FLAIR MR.
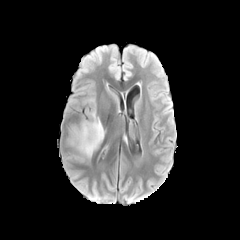
T1-weighted MRI.
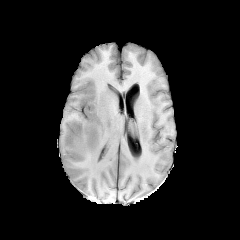
Post-contrast T1-weighted magnetic resonance.
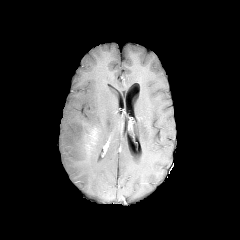
T2-weighted magnetic resonance.
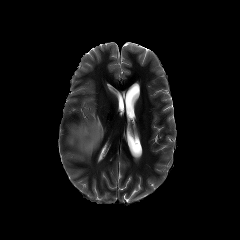
Head
enhancing tumor = 84 126 99 153
peritumoral edema = 69 110 104 157